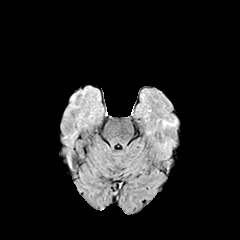
FLAIR MR.
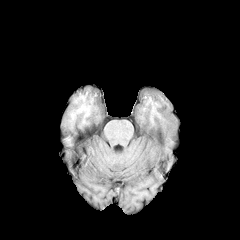
T1-weighted magnetic resonance.
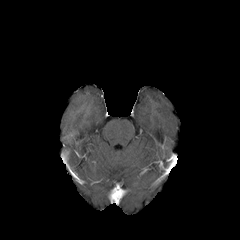
Post-contrast T1-weighted MR.
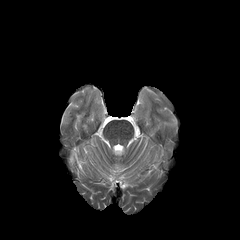
T2-weighted magnetic resonance of the same slice.
Axial plane. 240x240 px.
The peritumoral edema is bounded by x1=162 y1=118 x2=176 y2=127.